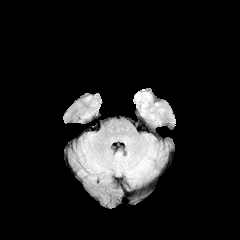
FLAIR magnetic resonance.
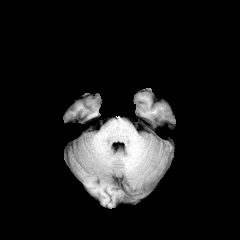
T1-weighted magnetic resonance.
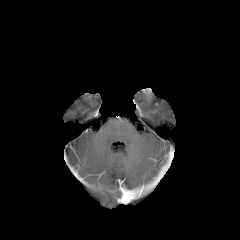
Same slice, post-contrast T1-weighted MR image.
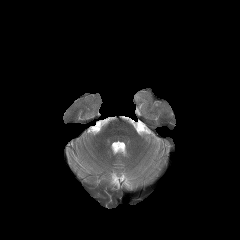
T2-weighted MR image of the same slice.
Axial view; Brain
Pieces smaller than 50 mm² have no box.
<segmentation>
  <peritumoral_edema>bbox(135, 89, 150, 114)</peritumoral_edema>
</segmentation>